Head
FLAIR MRI.
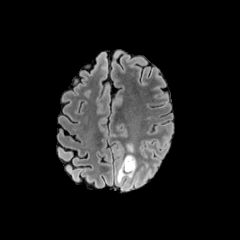
T1-weighted MR.
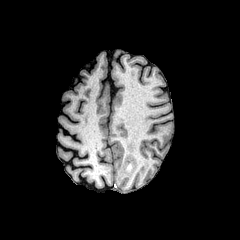
Post-contrast T1-weighted magnetic resonance.
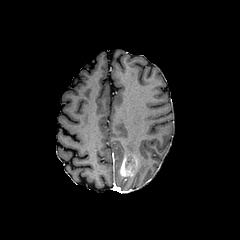
T2-weighted magnetic resonance.
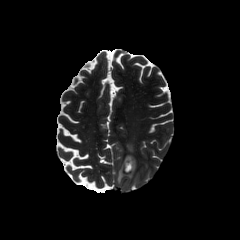
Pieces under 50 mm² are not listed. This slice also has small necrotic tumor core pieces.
peritumoral edema: bounding box bbox=[117, 164, 131, 184]
enhancing tumor: bounding box bbox=[120, 155, 135, 176]